FLAIR magnetic resonance.
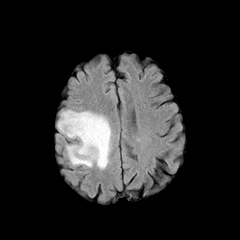
T1-weighted magnetic resonance.
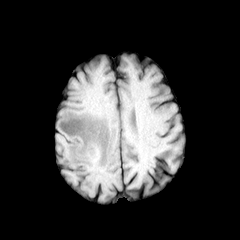
Post-contrast T1-weighted MR image.
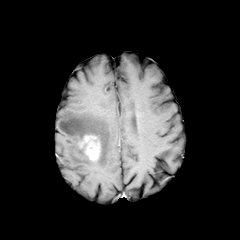
T2-weighted magnetic resonance.
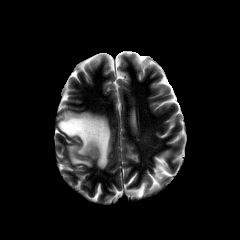
Axial view. Brain.
The peritumoral edema is at x1=57, y1=110, x2=112, y2=169. The enhancing tumor appears at x1=80, y1=134, x2=100, y2=160.